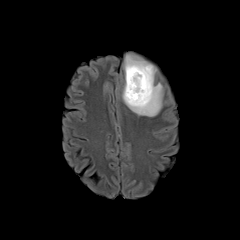
FLAIR MR.
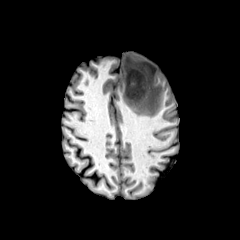
Same slice, T1-weighted MR image.
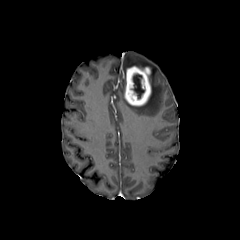
Post-contrast T1-weighted MRI.
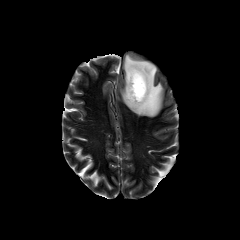
T2-weighted MR image of the same slice.
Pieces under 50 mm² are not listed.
necrotic_tumor_core:
  - rect(133, 74, 144, 98)
enhancing_tumor:
  - rect(124, 66, 151, 106)
peritumoral_edema:
  - rect(122, 54, 163, 116)